Axial slice | Head | Slice 70/155
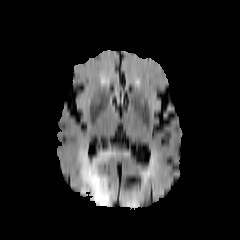
FLAIR MRI.
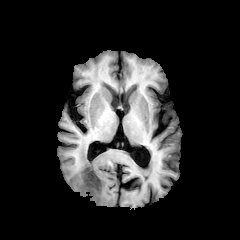
Same slice, T1-weighted MR.
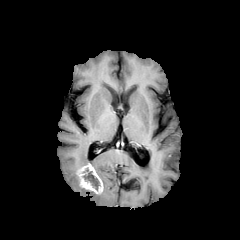
Post-contrast T1-weighted magnetic resonance.
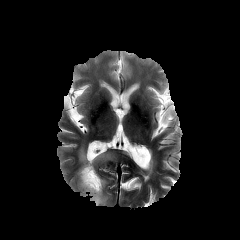
Same slice, T2-weighted MRI.
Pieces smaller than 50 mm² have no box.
necrotic_tumor_core:
  - 83 171 99 190
enhancing_tumor:
  - 77 163 103 194
peritumoral_edema:
  - 79 146 112 206